FLAIR MR.
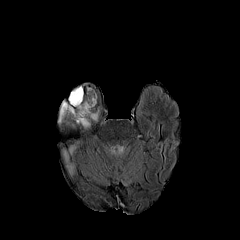
T1-weighted magnetic resonance.
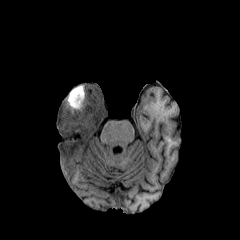
Post-contrast T1-weighted MRI.
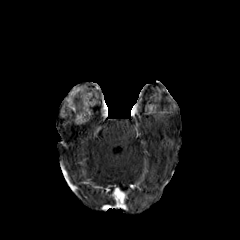
T2-weighted magnetic resonance.
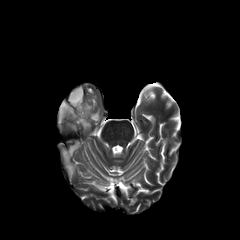
Image size 240x240.
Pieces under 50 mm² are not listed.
<segmentation>
  <peritumoral_edema><box>90,110,98,120</box></peritumoral_edema>
  <necrotic_tumor_core><box>69,85,84,112</box></necrotic_tumor_core>
  <enhancing_tumor><box>60,85,98,124</box></enhancing_tumor>
</segmentation>